FLAIR MR image.
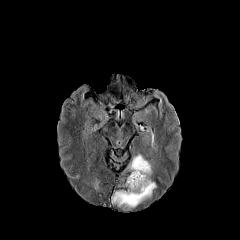
T1-weighted MRI.
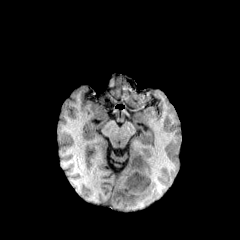
Post-contrast T1-weighted MRI.
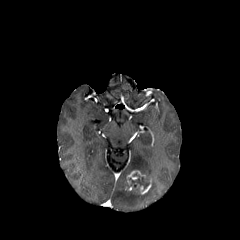
T2-weighted MR image.
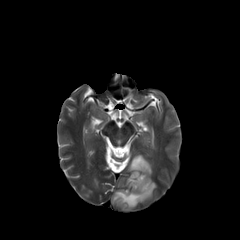
Axial slice.
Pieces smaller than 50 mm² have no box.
- enhancing tumor: bbox=[136, 179, 151, 194]; bbox=[126, 170, 145, 185]
- peritumoral edema: bbox=[111, 181, 156, 209]; bbox=[127, 154, 152, 180]
- necrotic tumor core: bbox=[129, 173, 149, 189]